Slice index 53; Image width 240 mm, 1.00 mm slice spacing; Head; 240x240
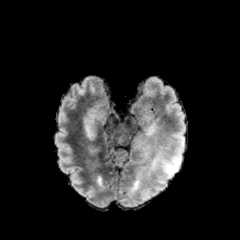
FLAIR MR.
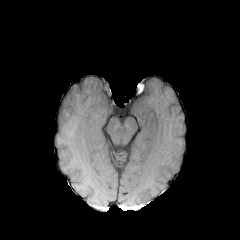
Same slice, T1-weighted magnetic resonance.
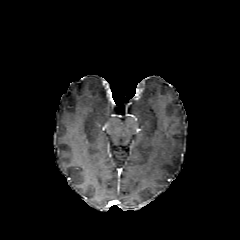
Post-contrast T1-weighted MRI.
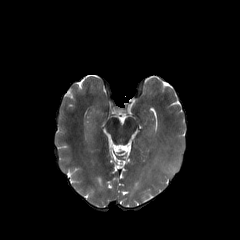
Same slice, T2-weighted MRI.
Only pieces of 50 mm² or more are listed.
Findings:
* peritumoral edema: [155,145,184,178]